FLAIR MRI.
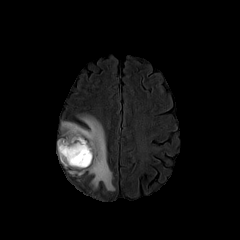
T1-weighted MRI.
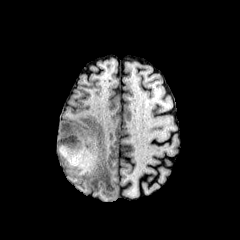
Post-contrast T1-weighted MRI.
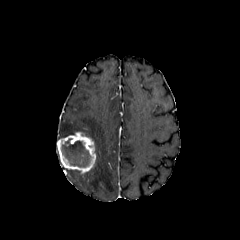
T2-weighted MR image.
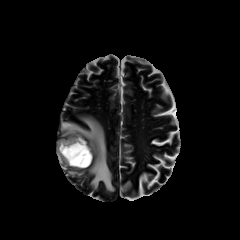
{"necrotic_tumor_core": ["61, 141, 90, 167"], "peritumoral_edema": ["60, 114, 115, 191", "68, 170, 82, 176"], "enhancing_tumor": ["57, 131, 96, 173"]}